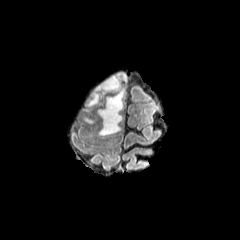
FLAIR MR image.
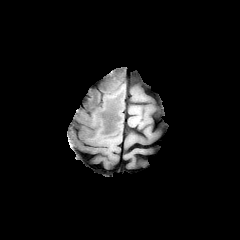
T1-weighted MR image.
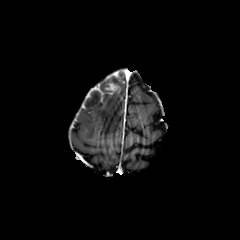
Post-contrast T1-weighted MR image.
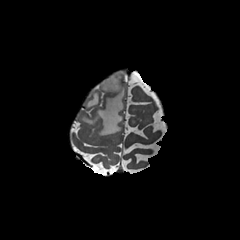
T2-weighted MR image.
240x240 px, Brain, Axial view
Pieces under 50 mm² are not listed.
enhancing tumor: left=94, top=81, right=120, bottom=98
peritumoral edema: left=96, top=72, right=125, bottom=135; left=83, top=117, right=94, bottom=123; left=86, top=90, right=102, bottom=109